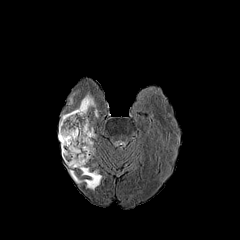
FLAIR MRI.
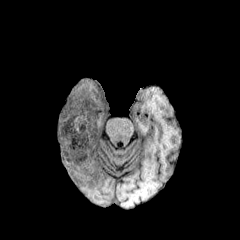
T1-weighted MRI.
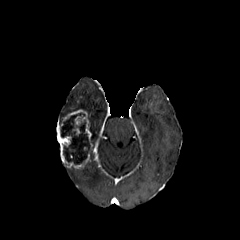
Post-contrast T1-weighted magnetic resonance.
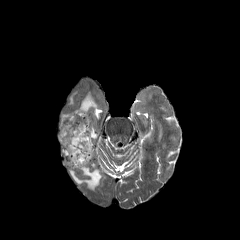
T2-weighted magnetic resonance of the same slice.
Axial view | Head
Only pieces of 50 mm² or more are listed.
<segmentation>
  <enhancing_tumor><box>61,136,90,168</box>, <box>58,109,92,148</box></enhancing_tumor>
  <necrotic_tumor_core><box>60,113,92,164</box></necrotic_tumor_core>
  <peritumoral_edema><box>74,94,95,112</box>, <box>69,166,101,189</box>, <box>89,126,96,143</box></peritumoral_edema>
</segmentation>